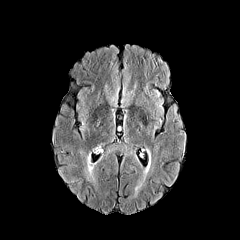
FLAIR MR image.
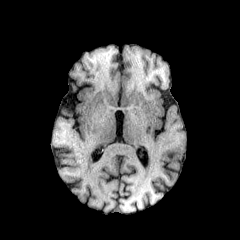
T1-weighted magnetic resonance.
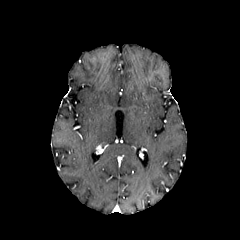
Same slice, post-contrast T1-weighted MR.
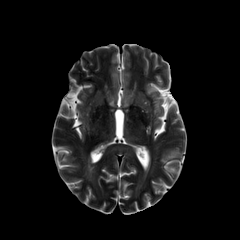
T2-weighted MR of the same slice.
Axial slice. Head. Image size 240x240.
<segmentation>
  <peritumoral_edema>box=[86, 162, 94, 180]</peritumoral_edema>
</segmentation>